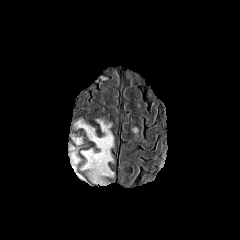
FLAIR MR image.
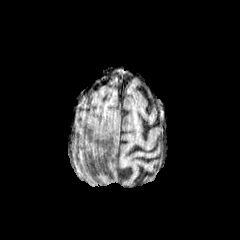
T1-weighted MRI.
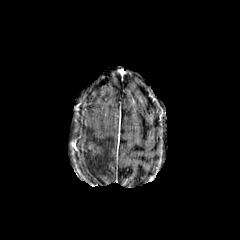
Post-contrast T1-weighted MR of the same slice.
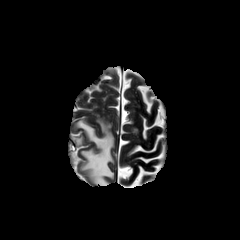
T2-weighted MRI of the same slice.
Image size 240x240; Axial slice
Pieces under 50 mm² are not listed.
peritumoral edema — [73,119,113,176], [72,137,81,144]